Axial plane | Head
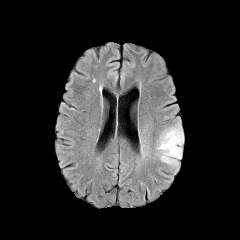
FLAIR MR.
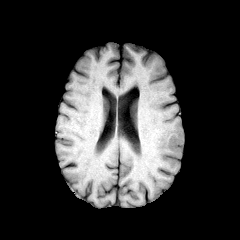
T1-weighted MRI of the same slice.
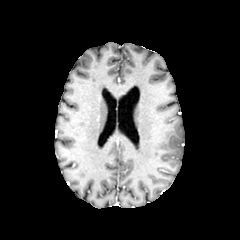
Post-contrast T1-weighted MR.
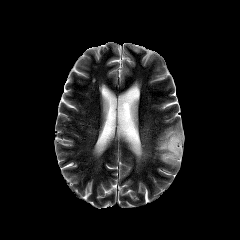
Same slice, T2-weighted MR.
{"peritumoral_edema": ["156:121:183:165"]}